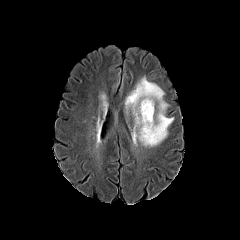
FLAIR MR.
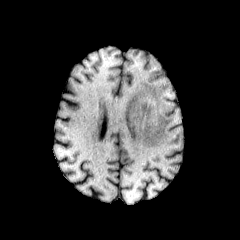
T1-weighted MR image.
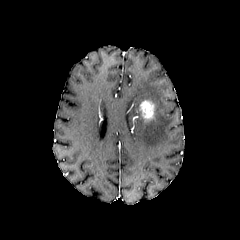
Post-contrast T1-weighted MR image.
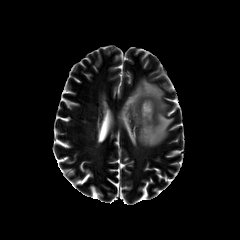
T2-weighted MRI.
Axial plane, Image size 240x240
<segmentation>
  <peritumoral_edema>125 77 173 146</peritumoral_edema>
  <enhancing_tumor>139 100 154 121</enhancing_tumor>
</segmentation>